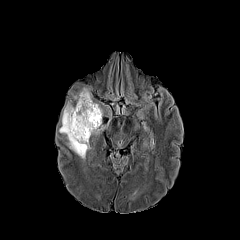
FLAIR magnetic resonance.
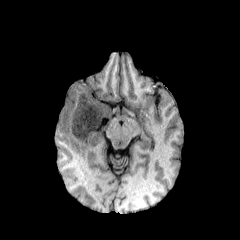
T1-weighted magnetic resonance.
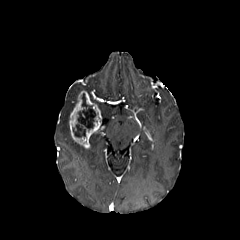
Post-contrast T1-weighted MR image of the same slice.
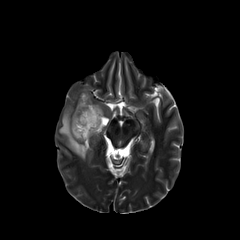
Same slice, T2-weighted magnetic resonance.
Brain; Axial view
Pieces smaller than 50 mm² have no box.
{
  "peritumoral_edema": [
    "[59, 103, 90, 159]"
  ],
  "necrotic_tumor_core": [
    "[72, 93, 97, 138]"
  ],
  "enhancing_tumor": [
    "[69, 91, 104, 148]"
  ]
}